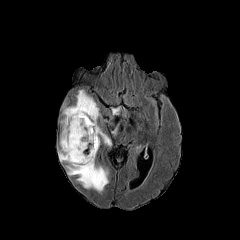
FLAIR MRI.
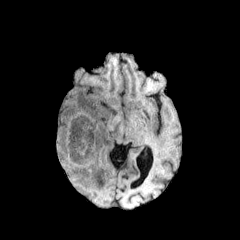
T1-weighted MR image.
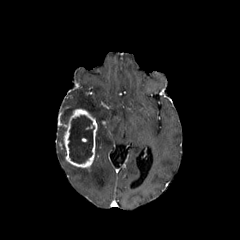
Same slice, post-contrast T1-weighted MR.
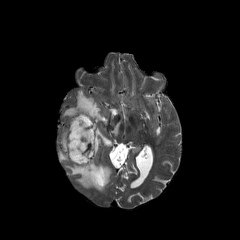
Same slice, T2-weighted MRI.
240x240 | Brain | Axial slice
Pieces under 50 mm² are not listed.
peritumoral edema: x1=95, y1=127, x2=111, y2=155; x1=66, y1=159, x2=109, y2=191; x1=58, y1=147, x2=66, y2=161; x1=63, y1=90, x2=101, y2=123
necrotic tumor core: x1=68, y1=115, x2=94, y2=163
enhancing tumor: x1=63, y1=108, x2=97, y2=168